Brain; 240x240 px; Axial plane
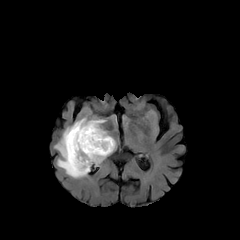
FLAIR MR image.
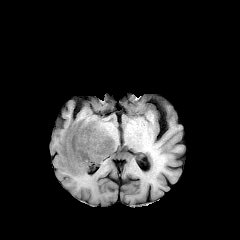
T1-weighted magnetic resonance.
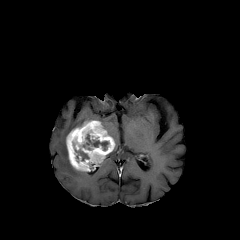
Post-contrast T1-weighted MRI.
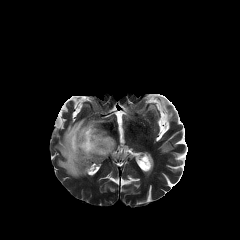
T2-weighted MR image.
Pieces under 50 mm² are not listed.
Annotated regions:
* enhancing tumor: left=66, top=120, right=115, bottom=172
* necrotic tumor core: left=72, top=132, right=110, bottom=161
* peritumoral edema: left=54, top=117, right=105, bottom=178